FLAIR MR.
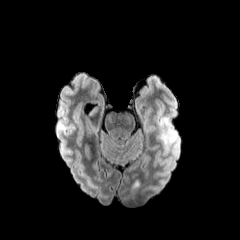
T1-weighted MR image.
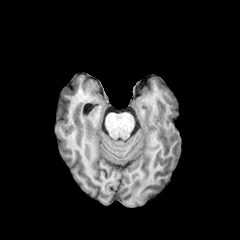
Post-contrast T1-weighted MR.
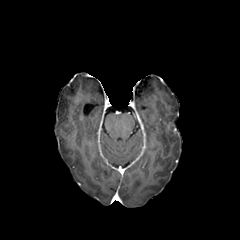
T2-weighted MRI.
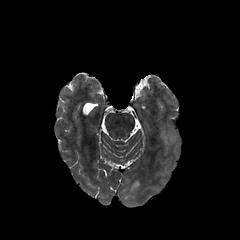
240x240
peritumoral edema: x1=160 y1=125 x2=177 y2=146